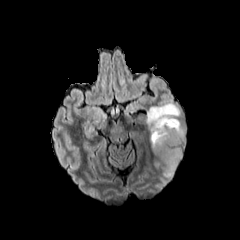
FLAIR MRI.
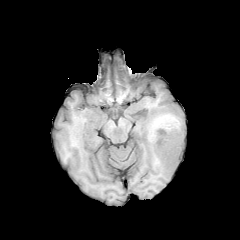
Same slice, T1-weighted MR.
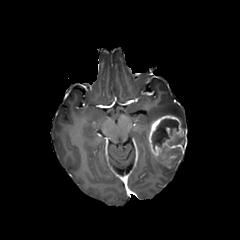
Post-contrast T1-weighted magnetic resonance of the same slice.
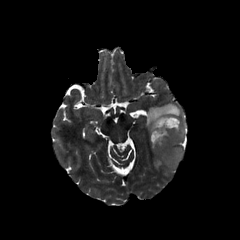
T2-weighted MR.
Axial plane
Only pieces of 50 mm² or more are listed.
• peritumoral edema: bbox=[155, 154, 182, 177]; bbox=[147, 103, 180, 130]
• enhancing tumor: bbox=[148, 115, 186, 167]
• necrotic tumor core: bbox=[152, 119, 178, 149]